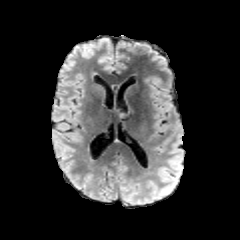
FLAIR MR image.
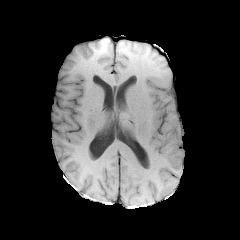
T1-weighted magnetic resonance.
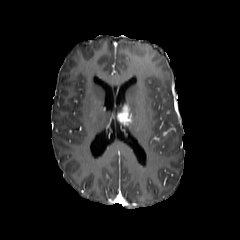
Post-contrast T1-weighted MR image.
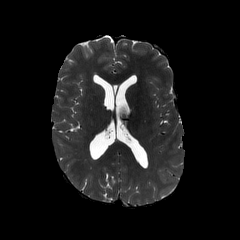
T2-weighted magnetic resonance.
Head; Image size 240x240
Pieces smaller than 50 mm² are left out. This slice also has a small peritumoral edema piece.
Segmented structures:
* enhancing tumor: [x1=117, y1=104, x2=132, y2=126]